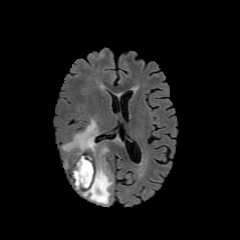
FLAIR MR.
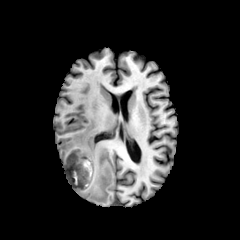
T1-weighted MR image.
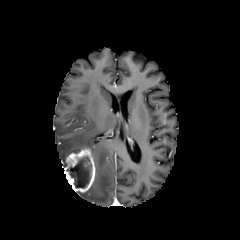
Post-contrast T1-weighted magnetic resonance.
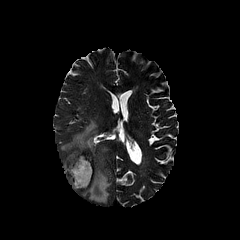
T2-weighted MR of the same slice.
Image size 240x240, Brain
necrotic_tumor_core:
  - {"x1": 67, "y1": 156, "x2": 91, "y2": 188}
enhancing_tumor:
  - {"x1": 64, "y1": 148, "x2": 95, "y2": 192}
peritumoral_edema:
  - {"x1": 61, "y1": 118, "x2": 112, "y2": 204}